FLAIR MR.
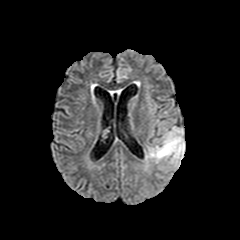
T1-weighted magnetic resonance.
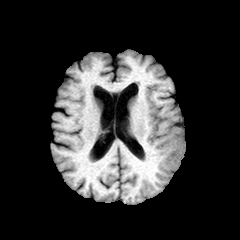
Post-contrast T1-weighted MR image.
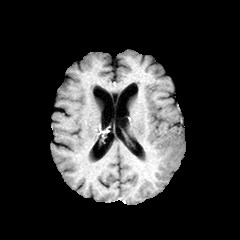
T2-weighted magnetic resonance.
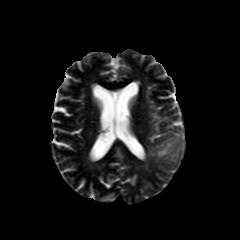
Axial slice
The peritumoral edema appears at [148, 127, 185, 167].